FLAIR MR.
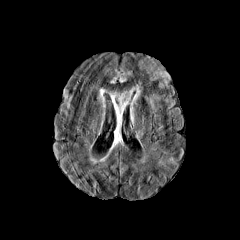
T1-weighted MRI.
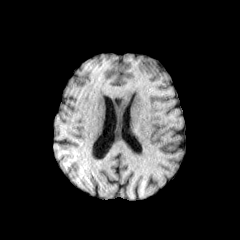
Post-contrast T1-weighted magnetic resonance.
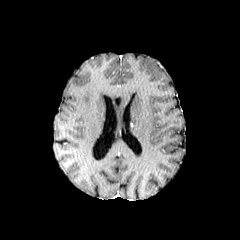
T2-weighted magnetic resonance.
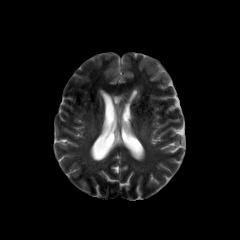
240x240 px | Head | Axial slice
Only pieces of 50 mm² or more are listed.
The largest peritumoral edema region is located at box=[110, 85, 140, 140].